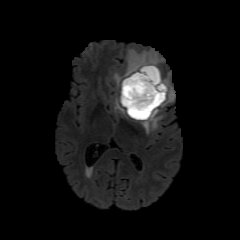
FLAIR MRI.
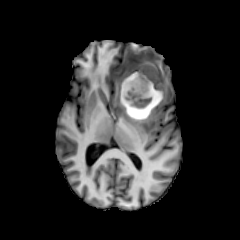
Same slice, T1-weighted MRI.
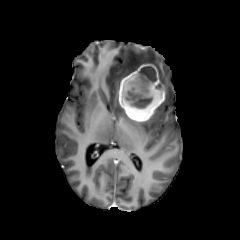
Post-contrast T1-weighted magnetic resonance of the same slice.
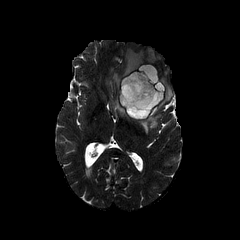
T2-weighted MR image of the same slice.
Brain, Axial slice, 240x240
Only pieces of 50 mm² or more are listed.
necrotic_tumor_core:
  - (121, 67, 157, 117)
peritumoral_edema:
  - (113, 49, 174, 133)
enhancing_tumor:
  - (119, 64, 165, 121)